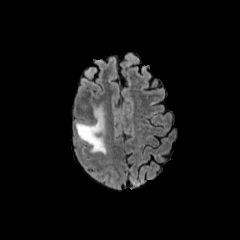
FLAIR MR image.
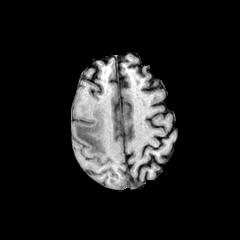
Same slice, T1-weighted MR.
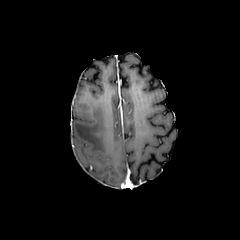
Same slice, post-contrast T1-weighted MR.
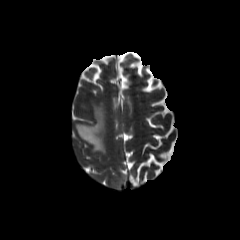
T2-weighted MRI of the same slice.
240x240. Head.
peritumoral edema: bounding box [75,99,108,155]